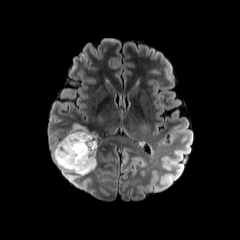
FLAIR MRI.
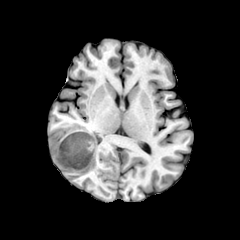
T1-weighted MR.
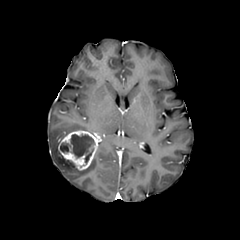
Post-contrast T1-weighted MR of the same slice.
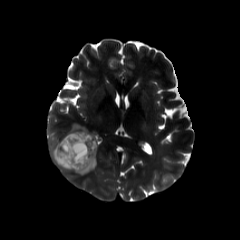
T2-weighted MR image.
Head, Image size 240x240
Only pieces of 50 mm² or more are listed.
- necrotic tumor core: bbox(60, 143, 70, 152); bbox(70, 134, 94, 163)
- enhancing tumor: bbox(58, 130, 97, 170)
- peritumoral edema: bbox(65, 123, 87, 135); bbox(52, 139, 96, 175)